Head, Slice index 95
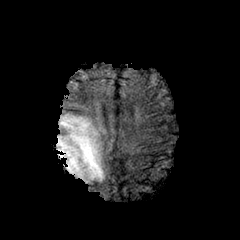
FLAIR MR image.
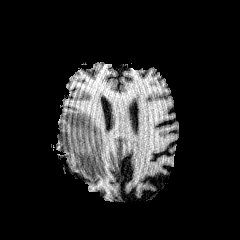
T1-weighted MR of the same slice.
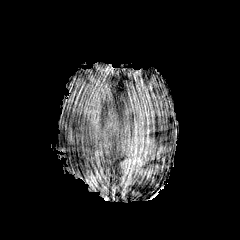
Post-contrast T1-weighted magnetic resonance of the same slice.
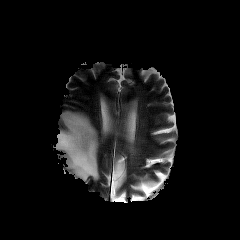
T2-weighted MR image.
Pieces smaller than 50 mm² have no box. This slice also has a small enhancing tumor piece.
<segmentation>
  <peritumoral_edema>region(56, 111, 101, 182)</peritumoral_edema>
</segmentation>